FLAIR MRI.
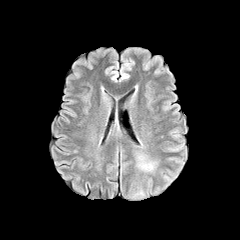
T1-weighted MR.
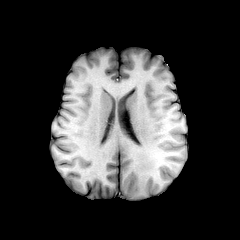
Post-contrast T1-weighted magnetic resonance.
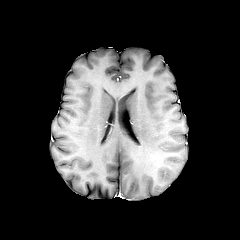
T2-weighted MR image.
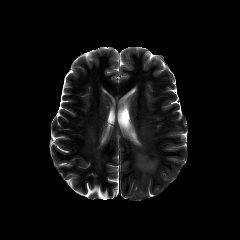
Axial slice; Head
{"peritumoral_edema": ["[x1=138, y1=155, x2=155, y2=170]"]}